Head
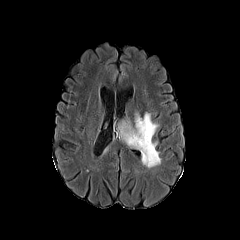
FLAIR magnetic resonance.
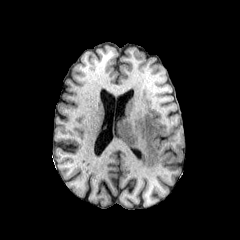
Same slice, T1-weighted MRI.
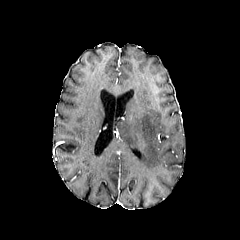
Same slice, post-contrast T1-weighted MR image.
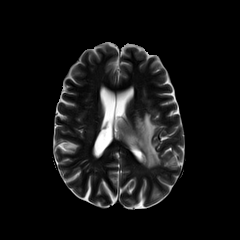
T2-weighted MR.
{"peritumoral_edema": ["[118,113,160,168]"]}